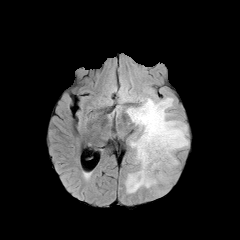
FLAIR MR image.
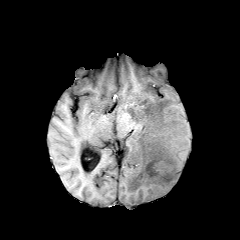
Same slice, T1-weighted MRI.
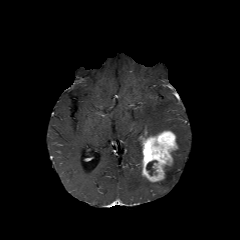
Post-contrast T1-weighted MR.
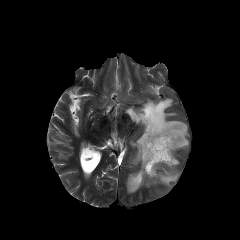
Same slice, T2-weighted MR.
Axial view
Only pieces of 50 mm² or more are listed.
Annotated regions:
- necrotic tumor core: box(146, 161, 156, 175)
- peritumoral edema: box(125, 139, 179, 193); box(127, 97, 188, 149)
- enhancing tumor: box(139, 130, 178, 182)